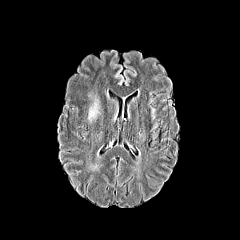
FLAIR magnetic resonance.
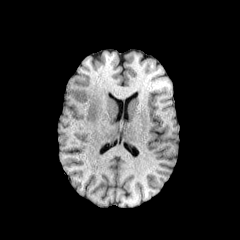
T1-weighted MR image of the same slice.
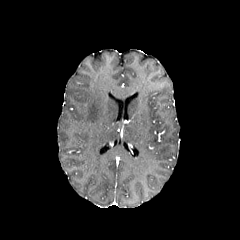
Post-contrast T1-weighted MRI.
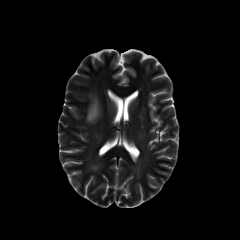
Same slice, T2-weighted MR.
Axial view.
* peritumoral edema: 88 101 98 121